FLAIR magnetic resonance.
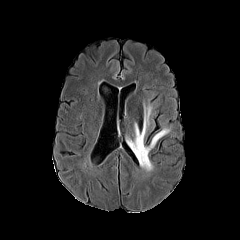
T1-weighted magnetic resonance.
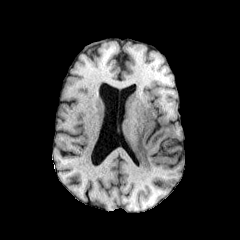
Post-contrast T1-weighted MR.
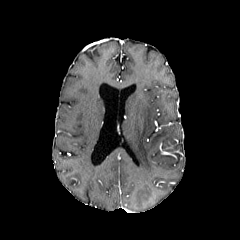
T2-weighted magnetic resonance.
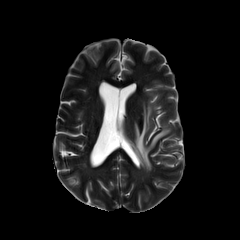
Image size 240x240, Axial view, Brain
peritumoral edema at l=128, t=104, r=169, b=171